Image size 240x240, Axial plane, Head
FLAIR MR.
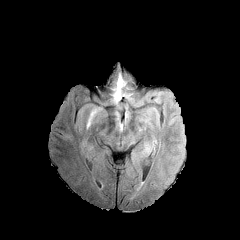
T1-weighted MR image.
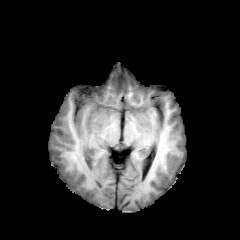
Post-contrast T1-weighted MR image.
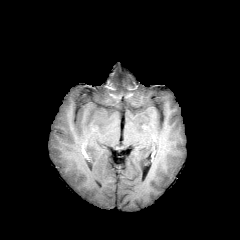
T2-weighted MR image.
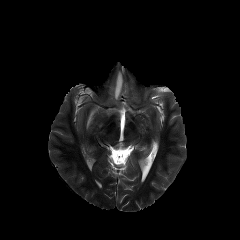
peritumoral edema: <box>87,109,96,125</box>, <box>113,73,125,103</box>